240x240, Brain, Image covers 240 mm x 240 mm, Slice 104/155
FLAIR MR.
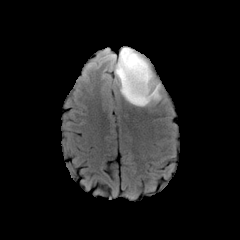
T1-weighted MR image.
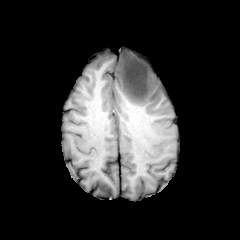
Post-contrast T1-weighted MR image.
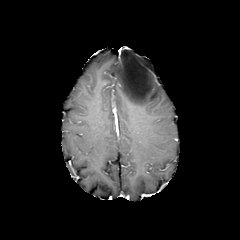
T2-weighted magnetic resonance.
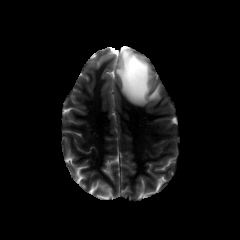
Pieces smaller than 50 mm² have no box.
peritumoral edema: bounding box [114,48,161,106]